FLAIR MRI.
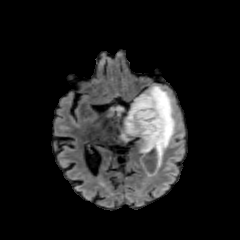
T1-weighted MRI.
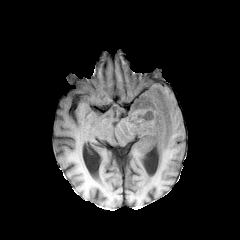
Post-contrast T1-weighted MRI.
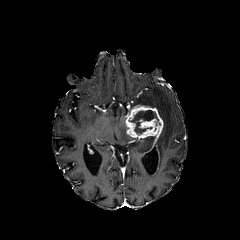
T2-weighted MR.
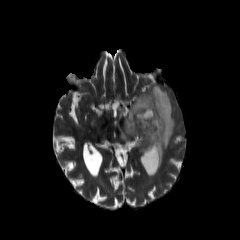
Axial plane.
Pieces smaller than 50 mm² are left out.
{
  "peritumoral_edema": [
    "[130,85,175,178]",
    "[120,112,133,142]",
    "[112,104,123,120]"
  ],
  "enhancing_tumor": [
    "[125,105,163,174]"
  ],
  "necrotic_tumor_core": [
    "[128,109,158,133]"
  ]
}